Slice 39/155
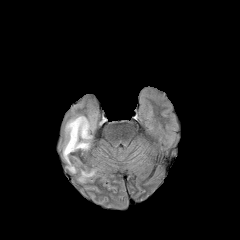
FLAIR MRI.
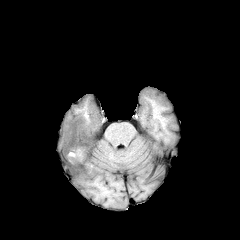
T1-weighted MRI.
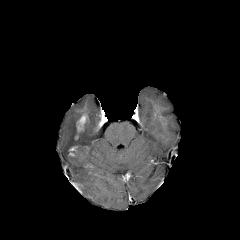
Same slice, post-contrast T1-weighted MR.
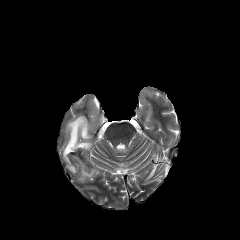
Same slice, T2-weighted magnetic resonance.
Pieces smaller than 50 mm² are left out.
<segmentation>
  <necrotic_tumor_core>[72, 149, 92, 166]</necrotic_tumor_core>
  <peritumoral_edema>[63, 115, 95, 173], [78, 168, 97, 182]</peritumoral_edema>
  <enhancing_tumor>[76, 116, 86, 132], [69, 145, 78, 156]</enhancing_tumor>
</segmentation>